FLAIR MR image.
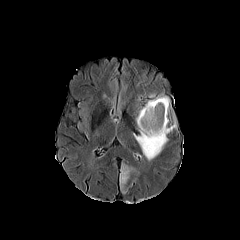
T1-weighted MR image.
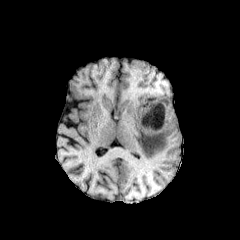
Post-contrast T1-weighted MR image.
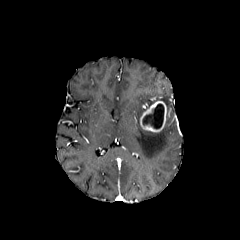
T2-weighted MR image.
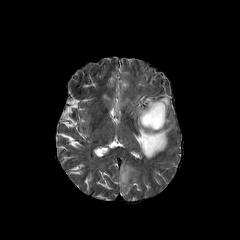
Image size 240x240; Brain
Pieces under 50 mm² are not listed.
The enhancing tumor lies within (139, 101, 166, 132). The 2 largest peritumoral edema regions appear at (120, 164, 133, 188), (133, 95, 176, 160). The necrotic tumor core is bounded by (142, 104, 164, 128).